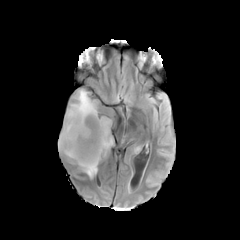
FLAIR MR.
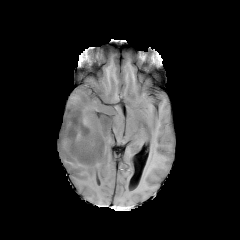
T1-weighted MR image.
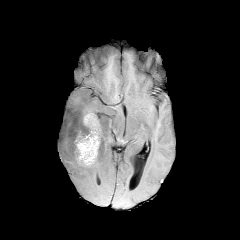
Same slice, post-contrast T1-weighted magnetic resonance.
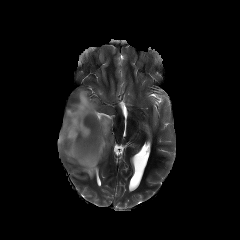
T2-weighted MR image.
Head
Annotated regions:
• peritumoral edema: {"x1": 58, "y1": 89, "x2": 112, "y2": 178}
• enhancing tumor: {"x1": 74, "y1": 114, "x2": 100, "y2": 166}